FLAIR MR image.
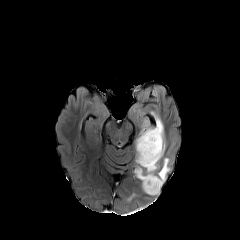
T1-weighted MRI.
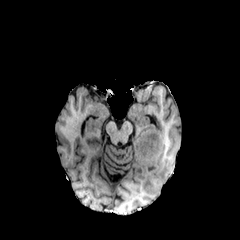
Post-contrast T1-weighted MRI.
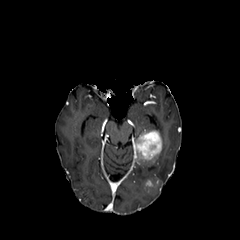
T2-weighted magnetic resonance.
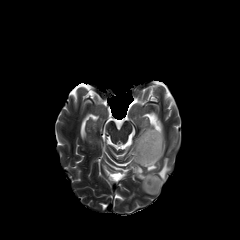
Axial plane
peritumoral edema: bbox(135, 116, 169, 194) | enhancing tumor: bbox(145, 178, 159, 191); bbox(135, 129, 162, 164)